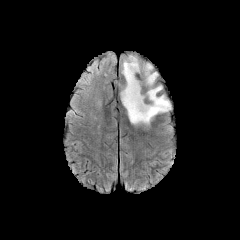
FLAIR MR.
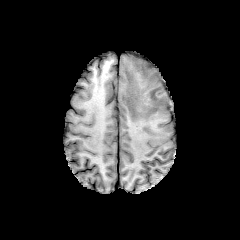
T1-weighted magnetic resonance.
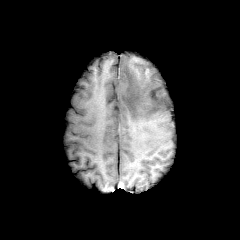
Same slice, post-contrast T1-weighted magnetic resonance.
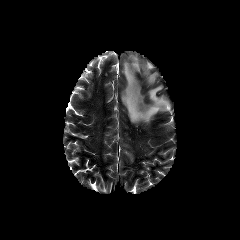
T2-weighted MR.
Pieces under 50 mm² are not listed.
peritumoral edema: [121, 55, 170, 123]
enhancing tumor: [132, 56, 144, 63]